FLAIR MR image.
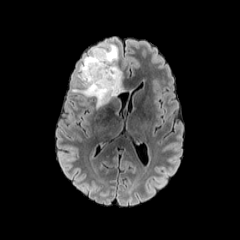
T1-weighted magnetic resonance.
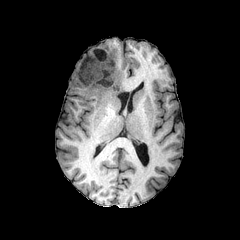
Post-contrast T1-weighted MRI.
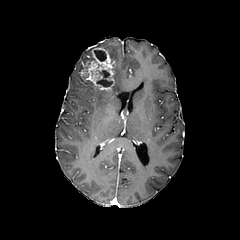
T2-weighted MR.
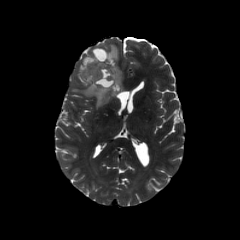
Axial slice
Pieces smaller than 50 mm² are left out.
{"peritumoral_edema": ["box=[82, 46, 100, 63]", "box=[72, 45, 123, 108]"], "necrotic_tumor_core": ["box=[96, 70, 112, 86]", "box=[94, 50, 106, 61]"], "enhancing_tumor": ["box=[81, 47, 114, 90]"]}